Axial slice; Image width 240 mm; Brain
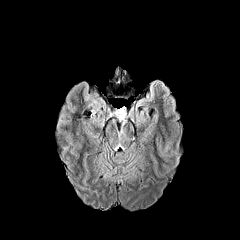
FLAIR MRI.
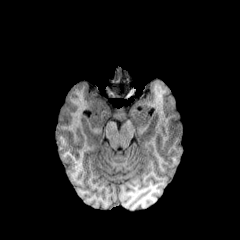
T1-weighted MR image of the same slice.
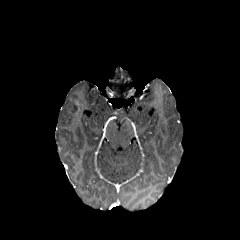
Same slice, post-contrast T1-weighted magnetic resonance.
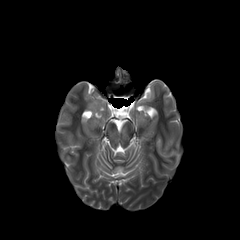
Same slice, T2-weighted MR.
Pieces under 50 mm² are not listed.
Segmented structures:
* peritumoral edema: <bbox>115, 108, 126, 138</bbox>